FLAIR MRI.
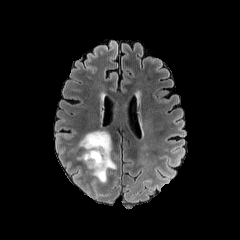
T1-weighted MR image.
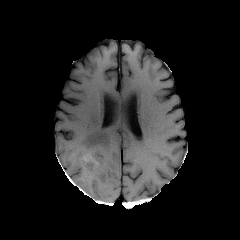
Post-contrast T1-weighted MR.
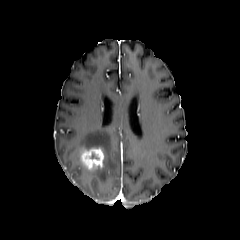
T2-weighted MR.
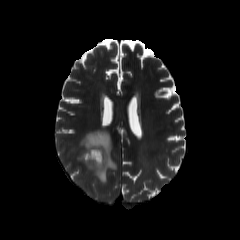
240x240 px
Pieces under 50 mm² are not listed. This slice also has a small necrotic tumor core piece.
The peritumoral edema is bounded by (x1=77, y1=130, x2=117, y2=182). The enhancing tumor is bounded by (x1=80, y1=147, x2=104, y2=170).